FLAIR MRI.
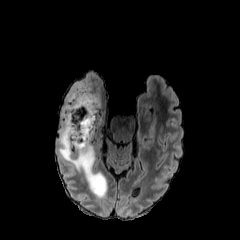
T1-weighted magnetic resonance.
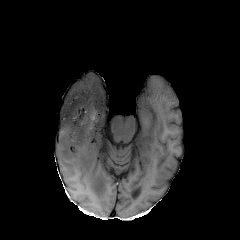
Post-contrast T1-weighted MR.
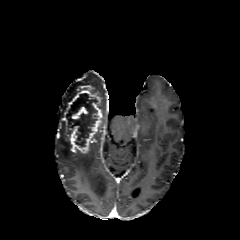
T2-weighted MRI.
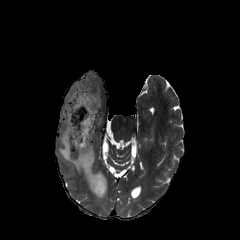
Axial view. Head. Image size 240x240.
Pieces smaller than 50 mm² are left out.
necrotic tumor core = <bbox>67, 93, 97, 146</bbox>
peritumoral edema = <bbox>59, 75, 106, 197</bbox>
enhancing tumor = <bbox>65, 85, 104, 153</bbox>